FLAIR MR.
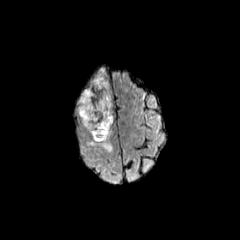
T1-weighted MR.
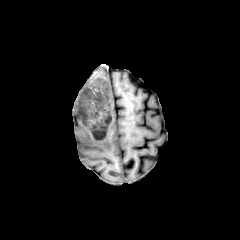
Post-contrast T1-weighted magnetic resonance.
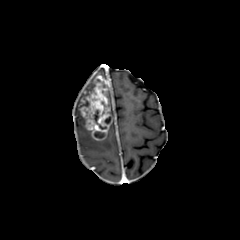
T2-weighted MR.
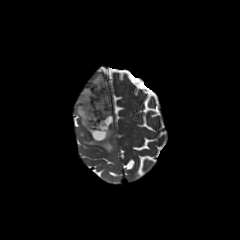
Brain.
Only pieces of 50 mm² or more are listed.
The 2 largest necrotic tumor core regions are bounded by (94,132,104,138), (93,110,99,123). The 2 largest peritumoral edema regions are bounded by (86,129,112,152), (77,73,104,129). The largest enhancing tumor region lies within (79,75,112,140).